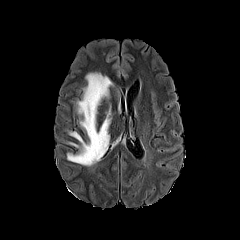
FLAIR MRI.
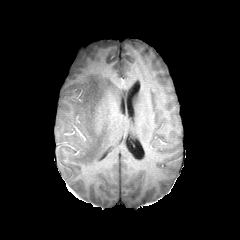
T1-weighted magnetic resonance.
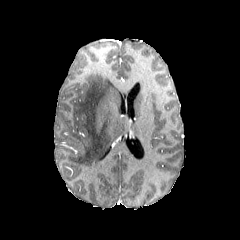
Post-contrast T1-weighted MRI of the same slice.
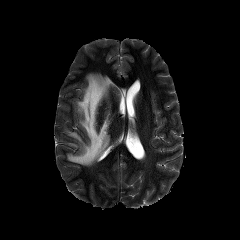
Same slice, T2-weighted MR image.
Image size 240x240; Axial view
Annotated regions:
• peritumoral edema: x1=67 y1=72 x2=112 y2=166